Slice 94/155; Axial plane; 240x240; Image covers 240 mm x 240 mm; Head
FLAIR MR.
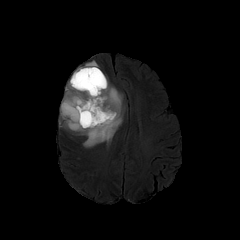
T1-weighted MR image.
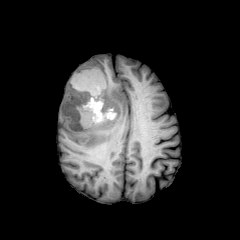
Post-contrast T1-weighted MR.
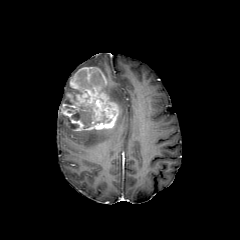
T2-weighted MR.
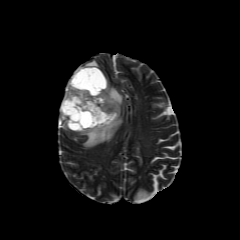
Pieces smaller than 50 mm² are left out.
peritumoral_edema:
  - left=59, top=75, right=124, bottom=147
  - left=72, top=60, right=98, bottom=76
enhancing_tumor:
  - left=61, top=67, right=119, bottom=131
necrotic_tumor_core:
  - left=72, top=106, right=93, bottom=128
  - left=76, top=70, right=105, bottom=88
  - left=65, top=116, right=78, bottom=129